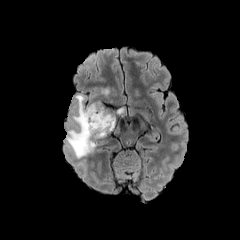
FLAIR MRI.
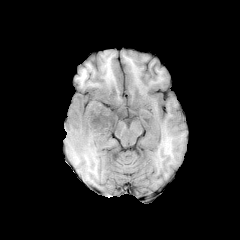
T1-weighted MR.
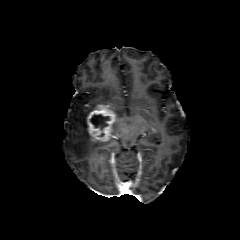
Same slice, post-contrast T1-weighted MR.
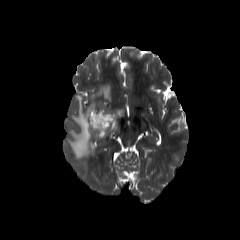
T2-weighted magnetic resonance.
Brain
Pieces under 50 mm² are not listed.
The largest necrotic tumor core region lies within <bbox>90, 114, 109, 129</bbox>. The 2 largest peritumoral edema regions appear at <bbox>67, 94, 100, 158</bbox>, <bbox>90, 86, 109, 98</bbox>. The enhancing tumor is at <bbox>87, 104, 117, 141</bbox>.